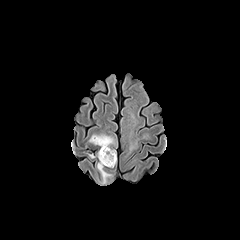
FLAIR magnetic resonance.
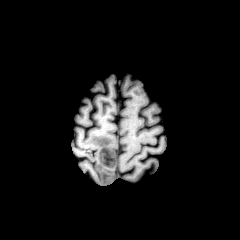
T1-weighted magnetic resonance of the same slice.
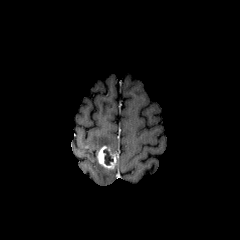
Same slice, post-contrast T1-weighted MR image.
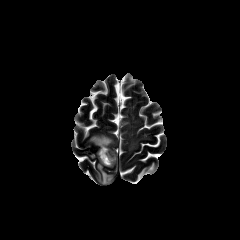
T2-weighted MR of the same slice.
Brain
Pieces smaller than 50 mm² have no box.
The enhancing tumor is at rect(97, 146, 116, 168). The 2 largest peritumoral edema regions are bounded by rect(89, 134, 114, 147); rect(97, 162, 112, 184). The necrotic tumor core is located at rect(103, 149, 113, 164).